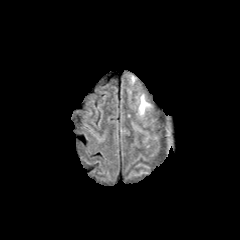
FLAIR MR image.
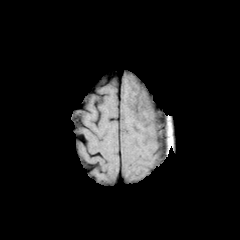
T1-weighted magnetic resonance.
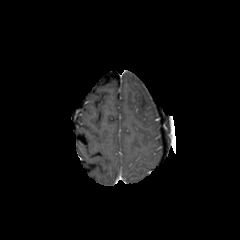
Post-contrast T1-weighted MR image of the same slice.
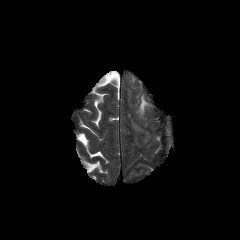
T2-weighted MRI.
240x240 px
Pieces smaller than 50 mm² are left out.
The largest peritumoral edema region lies within x1=139 y1=95 x2=149 y2=115.